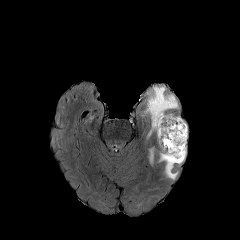
FLAIR MR image.
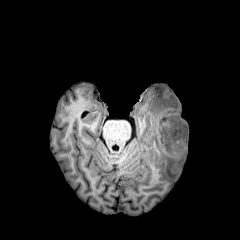
Same slice, T1-weighted MRI.
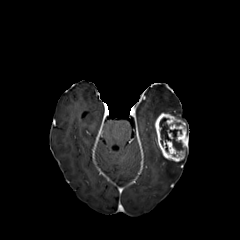
Post-contrast T1-weighted MR image.
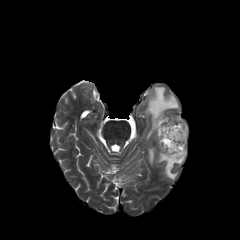
T2-weighted MRI of the same slice.
Head
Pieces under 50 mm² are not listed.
necrotic_tumor_core:
  - region(160, 118, 183, 150)
enhancing_tumor:
  - region(154, 112, 188, 161)
peritumoral_edema:
  - region(159, 152, 183, 179)
  - region(146, 87, 178, 129)
  - region(150, 149, 153, 162)